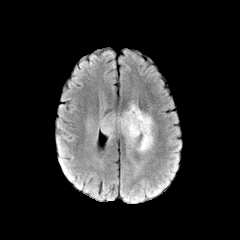
FLAIR MR image.
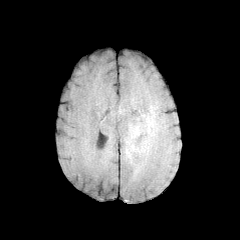
T1-weighted MR.
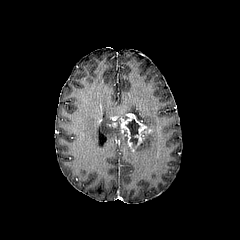
Post-contrast T1-weighted MR of the same slice.
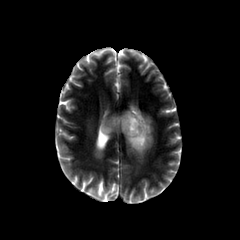
T2-weighted MR image of the same slice.
Axial slice.
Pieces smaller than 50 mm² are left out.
* enhancing tumor: region(110, 113, 151, 151)
* peritumoral edema: region(136, 132, 153, 152); region(100, 117, 120, 139); region(122, 104, 152, 129)
* necrotic tumor core: region(126, 119, 139, 146)